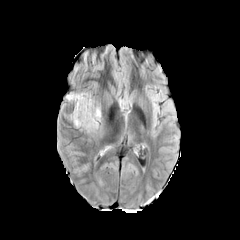
FLAIR MR image.
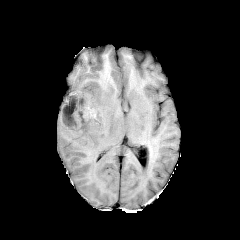
Same slice, T1-weighted MRI.
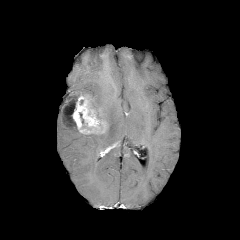
Post-contrast T1-weighted MR image.
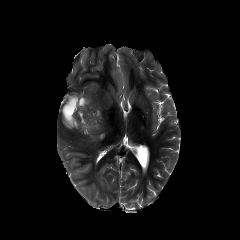
T2-weighted MR image of the same slice.
Head
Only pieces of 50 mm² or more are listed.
<segmentation>
  <enhancing_tumor>x1=61 y1=96 x2=105 y2=134</enhancing_tumor>
  <necrotic_tumor_core>x1=63 y1=101 x2=76 y2=126</necrotic_tumor_core>
  <peritumoral_edema>x1=88 y1=98 x2=101 y2=119, x1=66 y1=93 x2=84 y2=99</peritumoral_edema>
</segmentation>